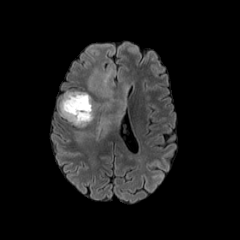
FLAIR MR.
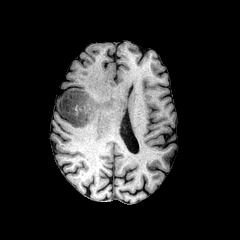
Same slice, T1-weighted MR.
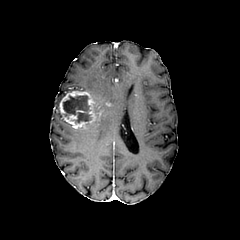
Post-contrast T1-weighted magnetic resonance.
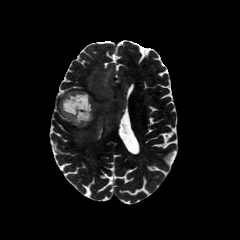
Same slice, T2-weighted MR.
240x240 | Head
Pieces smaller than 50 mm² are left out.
peritumoral edema: bounding box x1=87, y1=51, x2=127, y2=128; x1=75, y1=131, x2=86, y2=140
necrotic tumor core: bounding box x1=63, y1=95, x2=91, y2=122
enhancing tumor: bounding box x1=59, y1=91, x2=100, y2=128